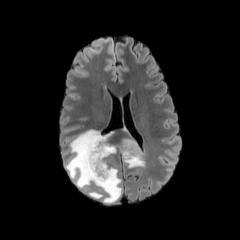
FLAIR MR image.
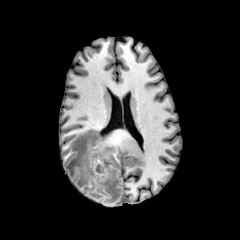
T1-weighted magnetic resonance.
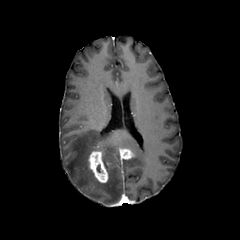
Post-contrast T1-weighted MR image.
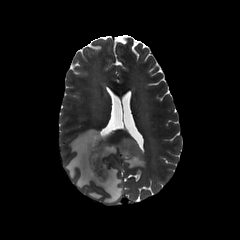
T2-weighted MRI.
Head; 240x240
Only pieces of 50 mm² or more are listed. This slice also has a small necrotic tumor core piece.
2 peritumoral edema regions are bounded by [65,129,122,203], [120,139,145,167]. 2 enhancing tumor regions appear at [119,148,134,159], [88,145,108,182].